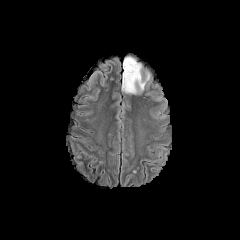
FLAIR magnetic resonance.
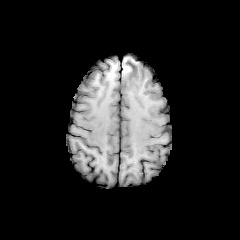
T1-weighted MR image.
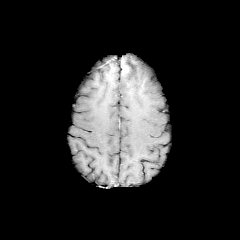
Post-contrast T1-weighted MRI of the same slice.
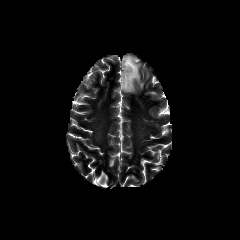
Same slice, T2-weighted MR image.
240x240 px
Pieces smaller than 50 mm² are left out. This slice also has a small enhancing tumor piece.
The peritumoral edema is bounded by (121, 56, 150, 94). The necrotic tumor core is at (124, 60, 133, 86).